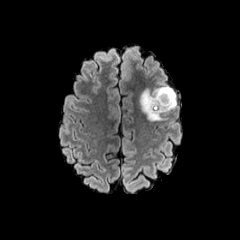
FLAIR MRI.
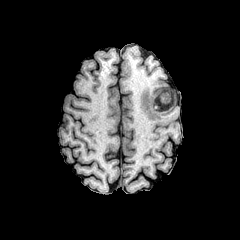
T1-weighted MR image.
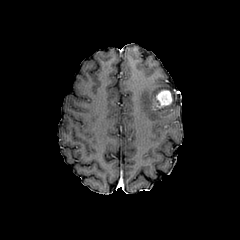
Same slice, post-contrast T1-weighted MRI.
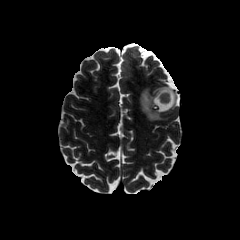
T2-weighted MR image of the same slice.
Brain. 240x240.
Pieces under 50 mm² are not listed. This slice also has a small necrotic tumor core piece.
Segmented structures:
* enhancing tumor: [150, 89, 175, 113]
* peritumoral edema: [139, 86, 176, 121]